240x240. Image width 240 mm. Axial slice.
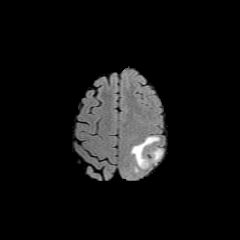
FLAIR MRI.
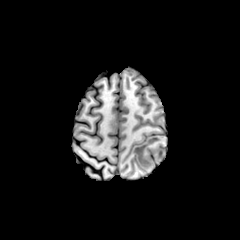
T1-weighted MR.
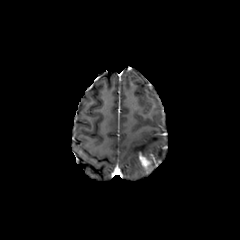
Post-contrast T1-weighted MR image.
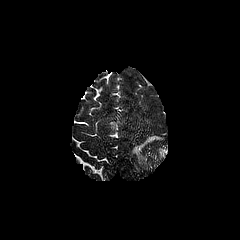
T2-weighted MR of the same slice.
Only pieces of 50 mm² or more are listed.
enhancing tumor = region(137, 151, 152, 169)
peritumoral edema = region(153, 149, 162, 160); region(131, 136, 159, 168)